Head; Image covers 240 mm x 240 mm
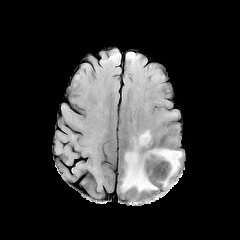
FLAIR magnetic resonance.
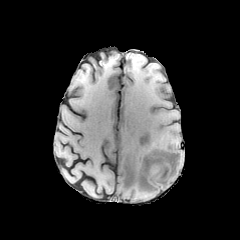
T1-weighted MR.
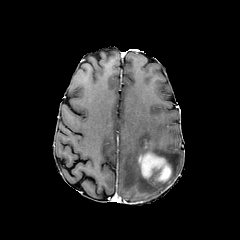
Same slice, post-contrast T1-weighted MR image.
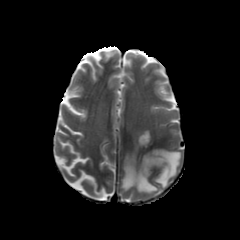
Same slice, T2-weighted MR.
2 peritumoral edema regions are located at (left=150, top=149, right=181, bottom=187), (left=121, top=130, right=157, bottom=191). The enhancing tumor is at (left=139, top=152, right=171, bottom=182).